Brain
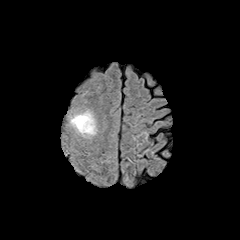
FLAIR magnetic resonance.
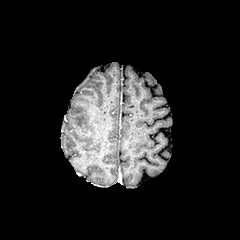
Same slice, T1-weighted MR image.
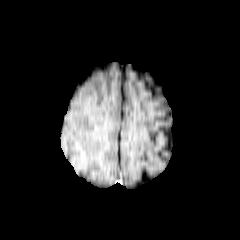
Post-contrast T1-weighted magnetic resonance of the same slice.
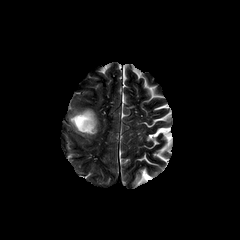
T2-weighted MR.
{"peritumoral_edema": ["69:109:97:137"]}